Axial view. Brain.
FLAIR MR.
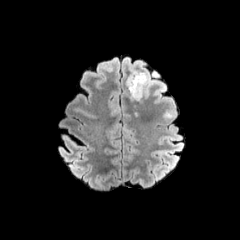
T1-weighted MR.
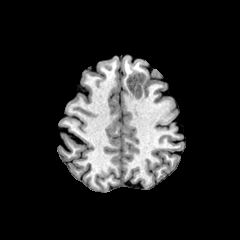
Post-contrast T1-weighted MRI.
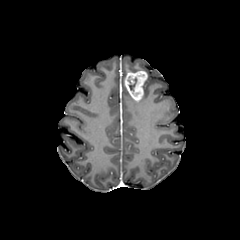
T2-weighted MR.
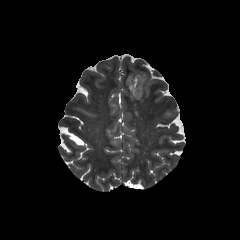
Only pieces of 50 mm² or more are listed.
enhancing tumor — (125, 71, 147, 100)
peritumoral edema — (143, 71, 154, 96)
necrotic tumor core — (128, 77, 137, 90)